Axial plane
FLAIR MRI.
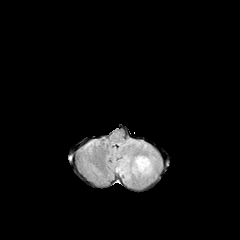
T1-weighted MRI.
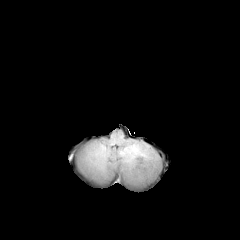
Post-contrast T1-weighted MR image.
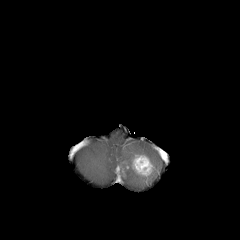
T2-weighted MRI.
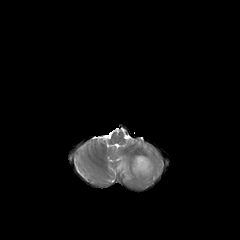
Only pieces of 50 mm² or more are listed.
The largest peritumoral edema region lies within (x1=111, y1=140, x2=159, y2=183). The largest enhancing tumor region is located at (x1=132, y1=155, x2=154, y2=176).